FLAIR magnetic resonance.
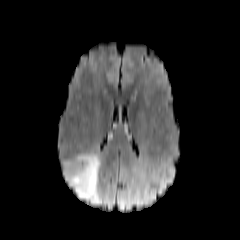
T1-weighted MR image.
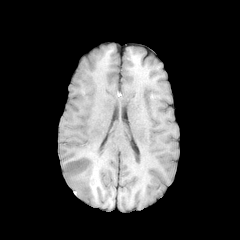
Post-contrast T1-weighted MR image.
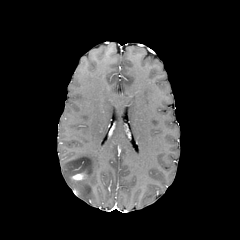
T2-weighted magnetic resonance.
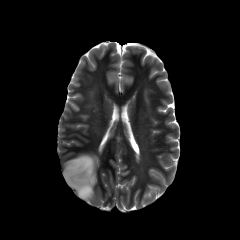
Head
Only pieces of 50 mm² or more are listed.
enhancing_tumor:
  - {"x1": 72, "y1": 173, "x2": 85, "y2": 181}
peritumoral_edema:
  - {"x1": 63, "y1": 153, "x2": 101, "y2": 203}